FLAIR magnetic resonance.
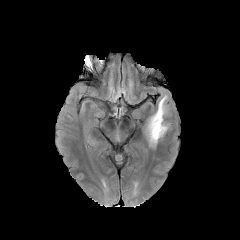
T1-weighted MR.
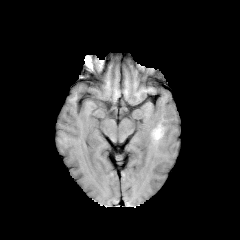
Post-contrast T1-weighted MR.
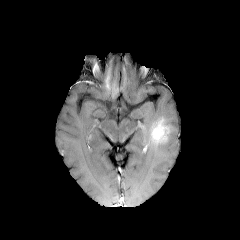
T2-weighted magnetic resonance.
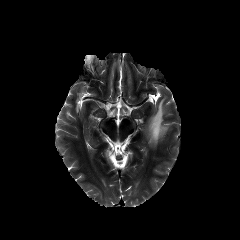
Axial slice. Image size 240x240.
enhancing tumor: {"x1": 151, "y1": 120, "x2": 168, "y2": 141} | peritumoral edema: {"x1": 145, "y1": 96, "x2": 169, "y2": 147}